Slice 45 of 155, Head
FLAIR magnetic resonance.
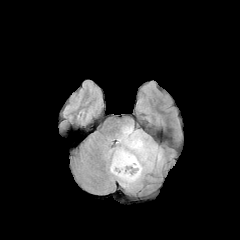
T1-weighted MRI.
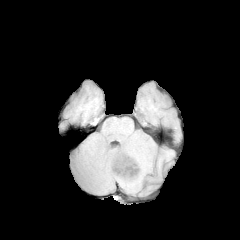
Post-contrast T1-weighted MR image.
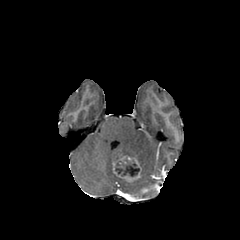
T2-weighted MRI.
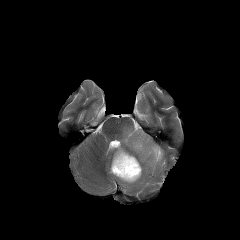
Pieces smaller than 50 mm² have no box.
The peritumoral edema is bounded by {"x1": 104, "y1": 124, "x2": 162, "y2": 191}. The necrotic tumor core is located at {"x1": 115, "y1": 159, "x2": 139, "y2": 176}. The largest enhancing tumor region lies within {"x1": 112, "y1": 154, "x2": 141, "y2": 182}.